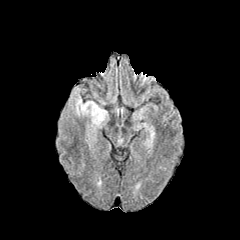
FLAIR MR image.
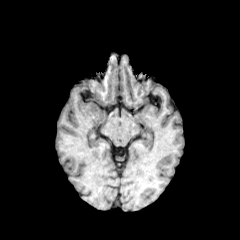
T1-weighted MR of the same slice.
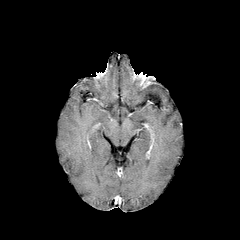
Post-contrast T1-weighted MR image.
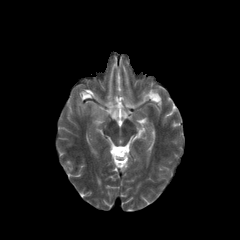
T2-weighted MR.
Brain.
The peritumoral edema is at rect(75, 95, 107, 126).